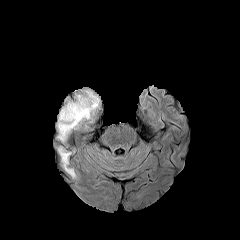
FLAIR MR.
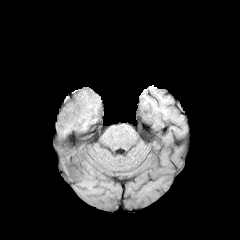
Same slice, T1-weighted MR image.
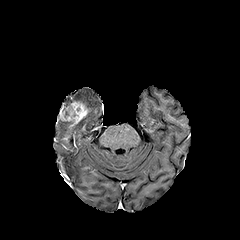
Post-contrast T1-weighted MRI.
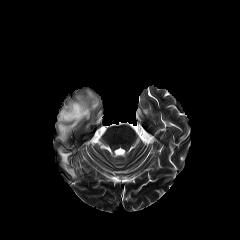
T2-weighted MRI.
Head, 240x240 px, Axial slice
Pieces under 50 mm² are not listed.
enhancing tumor at <bbox>58, 101, 88, 129</bbox>
peritumoral edema at <bbox>59, 148, 75, 177</bbox>, <bbox>57, 91, 99, 140</bbox>